Axial view
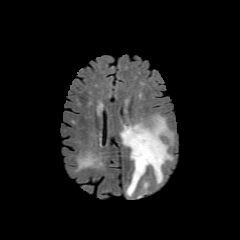
FLAIR magnetic resonance.
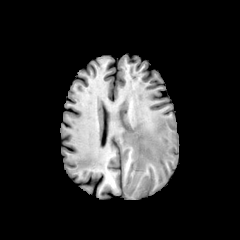
Same slice, T1-weighted magnetic resonance.
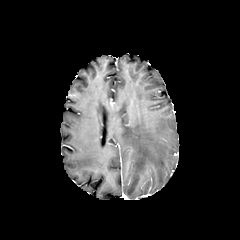
Post-contrast T1-weighted magnetic resonance.
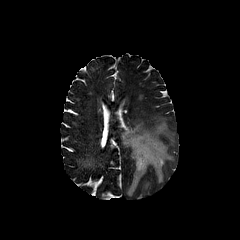
T2-weighted MR image of the same slice.
peritumoral_edema:
  - [x1=142, y1=181, x2=148, y2=192]
  - [x1=120, y1=115, x2=172, y2=196]